Brain; Image covers 240 mm x 240 mm; Axial view
FLAIR MR image.
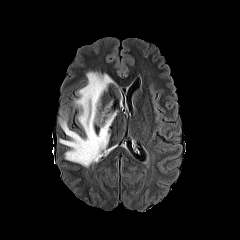
T1-weighted MR image.
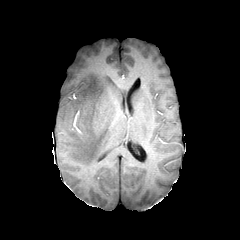
Post-contrast T1-weighted MR.
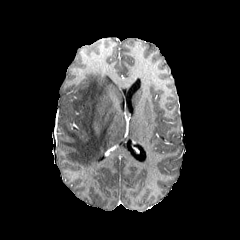
T2-weighted MR image.
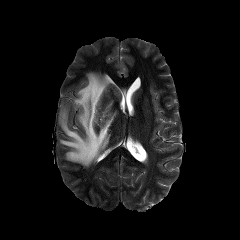
peritumoral_edema:
  - {"x1": 59, "y1": 71, "x2": 117, "y2": 167}